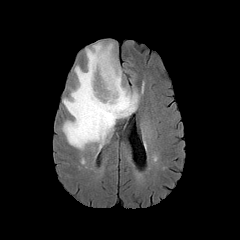
FLAIR magnetic resonance.
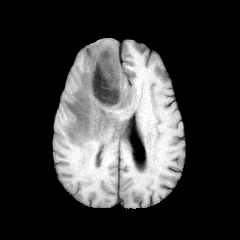
T1-weighted magnetic resonance of the same slice.
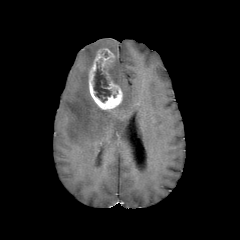
Post-contrast T1-weighted magnetic resonance of the same slice.
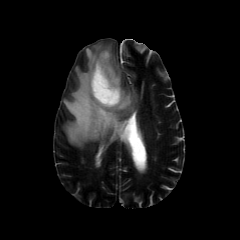
T2-weighted MRI of the same slice.
Image size 240x240. Head.
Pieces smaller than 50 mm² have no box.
The peritumoral edema appears at box=[62, 42, 138, 149]. The enhancing tumor lies within box=[88, 48, 122, 109]. The largest necrotic tumor core region lies within box=[94, 62, 111, 102].